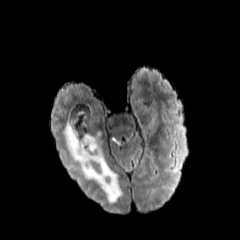
FLAIR MRI.
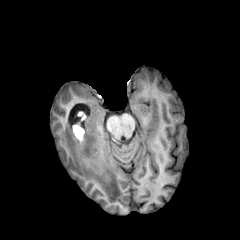
T1-weighted MR.
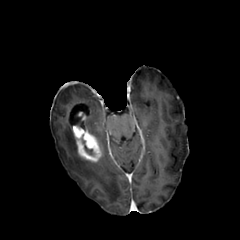
Post-contrast T1-weighted MRI.
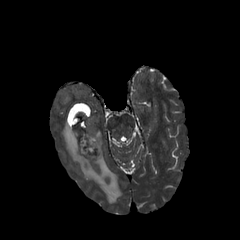
T2-weighted MR image.
240x240. Axial view.
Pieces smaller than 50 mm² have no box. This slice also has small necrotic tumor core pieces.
• peritumoral edema: box(63, 120, 122, 203)
• enhancing tumor: box(72, 111, 102, 162)